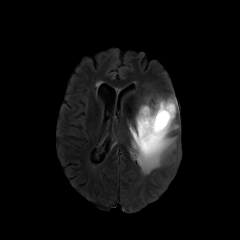
FLAIR MR.
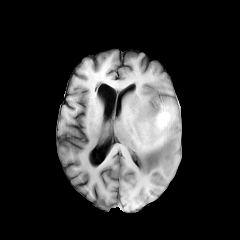
T1-weighted MRI of the same slice.
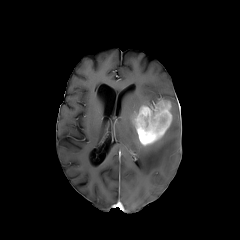
Post-contrast T1-weighted MRI.
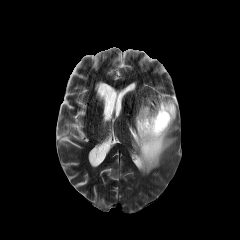
T2-weighted MR image.
Axial plane, Head
peritumoral edema: x1=129, y1=95, x2=178, y2=174 | enhancing tumor: x1=133, y1=99, x2=172, y2=145